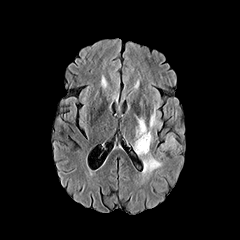
FLAIR MRI.
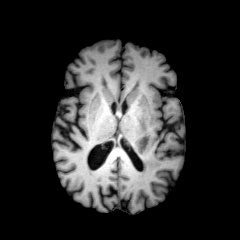
T1-weighted MR.
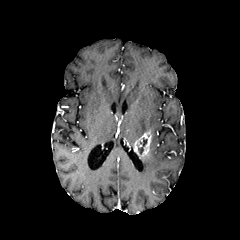
Same slice, post-contrast T1-weighted magnetic resonance.
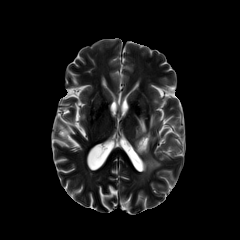
T2-weighted MR image.
Head
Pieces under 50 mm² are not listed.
The necrotic tumor core is at (138, 138, 147, 154). The enhancing tumor lies within (134, 131, 151, 156). The 3 largest peritumoral edema regions are located at (150, 113, 156, 128), (143, 152, 161, 172), (136, 117, 148, 138).